FLAIR magnetic resonance.
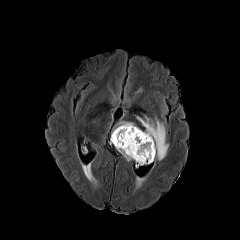
T1-weighted MR image.
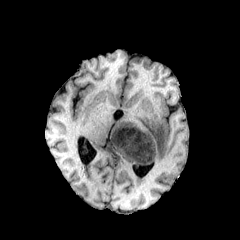
Post-contrast T1-weighted MRI.
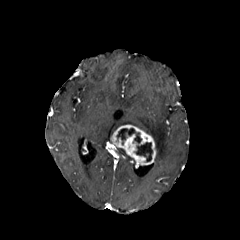
T2-weighted MRI.
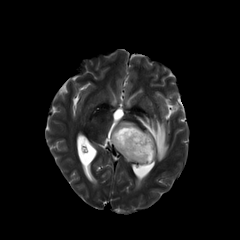
Axial view
The enhancing tumor appears at left=111, top=124, right=156, bottom=166. 2 necrotic tumor core regions are bounded by left=116, top=128, right=141, bottom=144; left=135, top=142, right=152, bottom=161. 3 peritumoral edema regions are located at left=136, top=116, right=168, bottom=160; left=112, top=121, right=135, bottom=134; left=116, top=148, right=133, bottom=161.